FLAIR magnetic resonance.
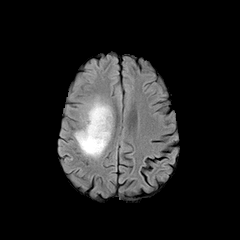
T1-weighted magnetic resonance.
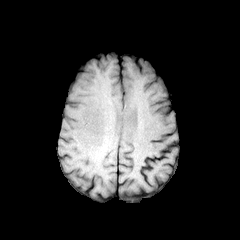
Post-contrast T1-weighted magnetic resonance.
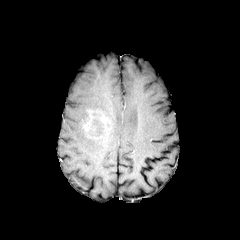
T2-weighted MRI.
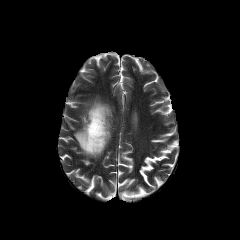
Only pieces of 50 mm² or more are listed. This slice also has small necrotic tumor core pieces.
enhancing tumor at <box>83,110,106,140</box>
peritumoral edema at <box>74,100,112,157</box>